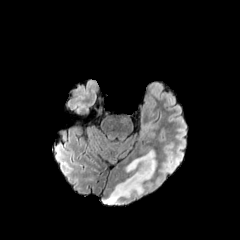
FLAIR MR image.
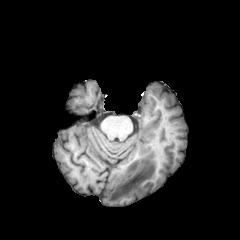
Same slice, T1-weighted MRI.
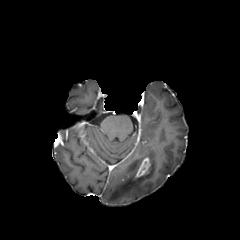
Same slice, post-contrast T1-weighted MR.
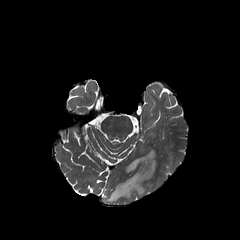
T2-weighted magnetic resonance of the same slice.
Head
enhancing tumor — (134,157,150,178)
peritumoral edema — (101,149,156,204)